Head.
FLAIR MR image.
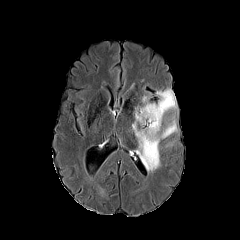
T1-weighted magnetic resonance.
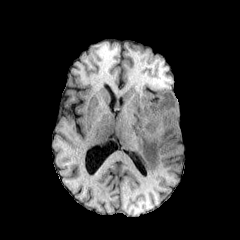
Post-contrast T1-weighted MR.
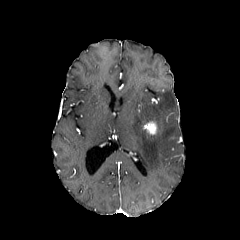
T2-weighted MR image.
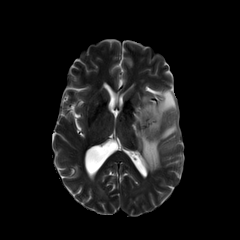
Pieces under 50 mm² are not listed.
peritumoral edema at x1=132, y1=89, x2=177, y2=171
enhancing tumor at x1=144, y1=121, x2=157, y2=135